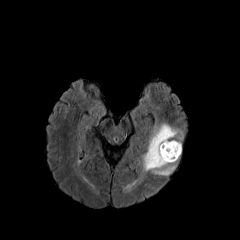
FLAIR MR.
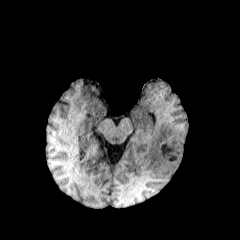
T1-weighted MR image.
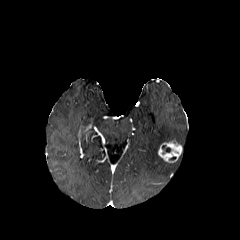
Post-contrast T1-weighted magnetic resonance.
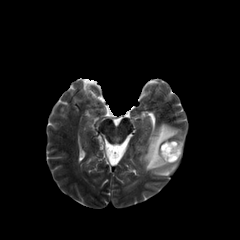
T2-weighted magnetic resonance.
Axial plane
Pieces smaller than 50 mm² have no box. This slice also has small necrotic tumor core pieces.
<segmentation>
  <peritumoral_edema>(x1=142, y1=123, x2=183, y2=175)</peritumoral_edema>
  <enhancing_tumor>(x1=158, y1=140, x2=182, y2=162)</enhancing_tumor>
</segmentation>